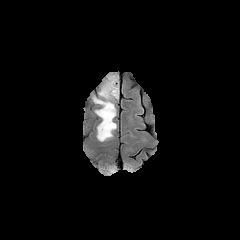
FLAIR MRI.
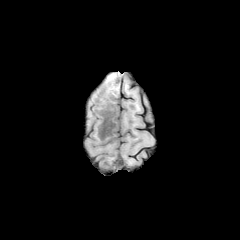
T1-weighted MR.
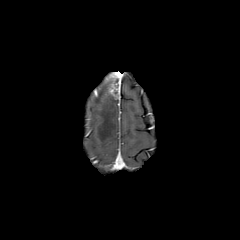
Same slice, post-contrast T1-weighted MR.
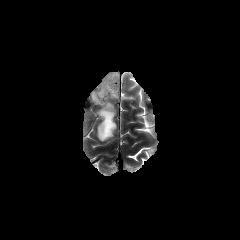
T2-weighted MRI.
Axial plane. Image size 240x240. Head.
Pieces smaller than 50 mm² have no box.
peritumoral edema: x1=93, y1=82, x2=116, y2=141 | enhancing tumor: x1=106, y1=72, x2=119, y2=99